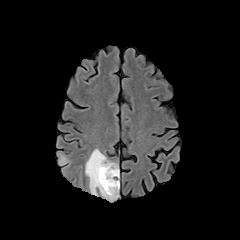
FLAIR MR.
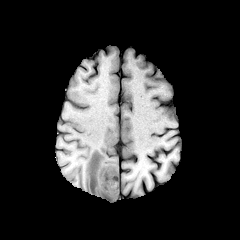
T1-weighted MR.
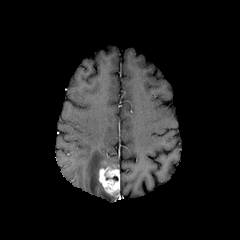
Post-contrast T1-weighted MR of the same slice.
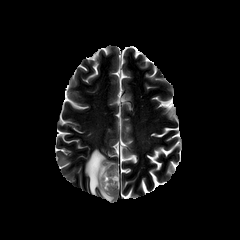
Same slice, T2-weighted MR image.
Brain, Axial slice, 240x240 px
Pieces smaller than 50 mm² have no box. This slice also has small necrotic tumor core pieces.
enhancing tumor: bounding box [x1=99, y1=165, x2=117, y2=197]
peritumoral edema: bounding box [x1=59, y1=156, x2=68, y2=165], [x1=85, y1=149, x2=117, y2=199]